Axial plane
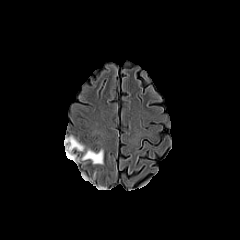
FLAIR MRI.
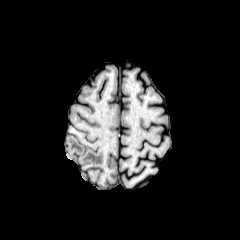
T1-weighted MR image.
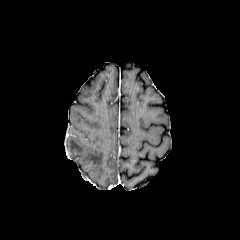
Same slice, post-contrast T1-weighted MRI.
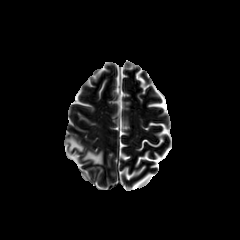
T2-weighted magnetic resonance.
2 peritumoral edema regions appear at (left=66, top=137, right=83, bottom=162), (left=82, top=150, right=103, bottom=164).